Axial slice. Head. Image width 240 mm.
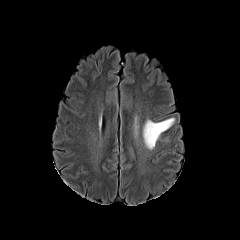
FLAIR magnetic resonance.
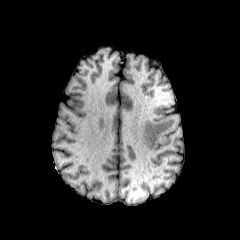
T1-weighted MR image.
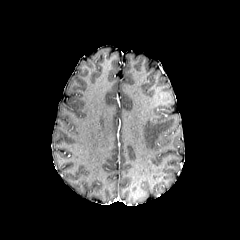
Post-contrast T1-weighted magnetic resonance of the same slice.
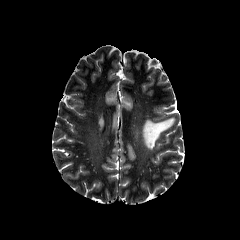
T2-weighted MRI of the same slice.
<segmentation>
  <peritumoral_edema>(left=142, top=118, right=174, bottom=149)</peritumoral_edema>
</segmentation>